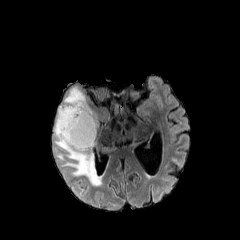
FLAIR MRI.
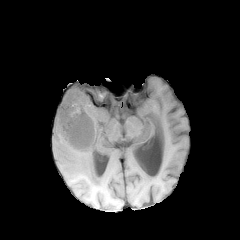
T1-weighted MR of the same slice.
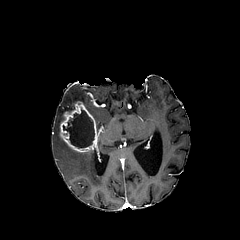
Post-contrast T1-weighted MR.
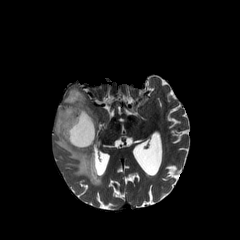
T2-weighted magnetic resonance of the same slice.
Brain
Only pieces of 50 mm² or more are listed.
<segmentation>
  <necrotic_tumor_core>63:108:94:148</necrotic_tumor_core>
  <peritumoral_edema>54:87:103:185</peritumoral_edema>
  <enhancing_tumor>60:101:98:152</enhancing_tumor>
</segmentation>